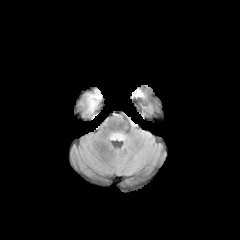
FLAIR MRI.
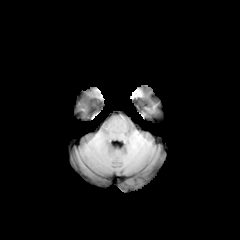
Same slice, T1-weighted magnetic resonance.
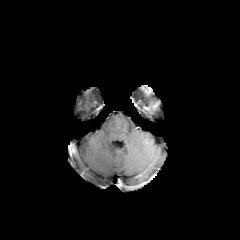
Post-contrast T1-weighted MRI.
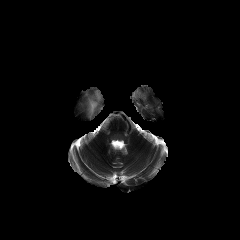
T2-weighted magnetic resonance.
Axial plane | Image size 240x240
peritumoral edema: 86:93:100:114